Slice index 87 | Axial plane | Brain | Image width 240 mm
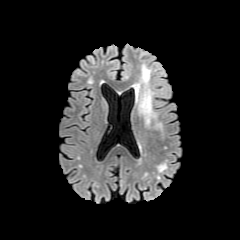
FLAIR MR.
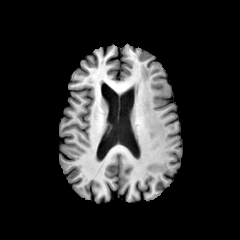
T1-weighted MRI.
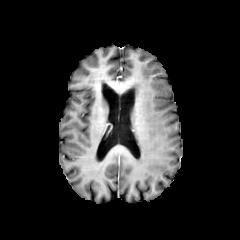
Post-contrast T1-weighted MRI.
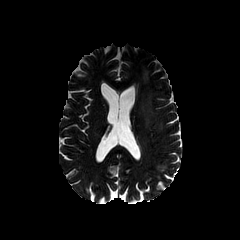
Same slice, T2-weighted MR.
peritumoral edema at 139:65:163:131